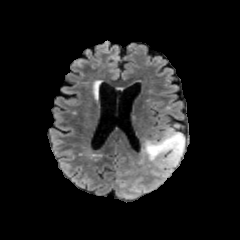
FLAIR MR.
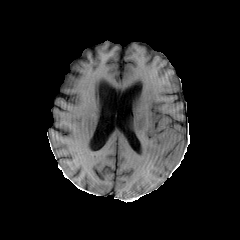
T1-weighted MR.
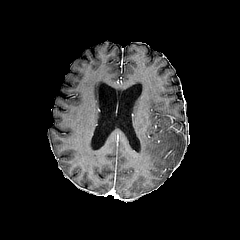
Post-contrast T1-weighted magnetic resonance of the same slice.
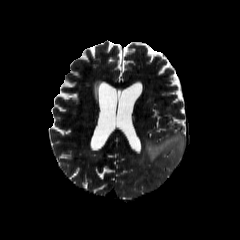
Same slice, T2-weighted MRI.
Head; 240x240
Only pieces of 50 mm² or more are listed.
{
  "peritumoral_edema": [
    "bbox(143, 128, 184, 169)"
  ]
}